240x240 px
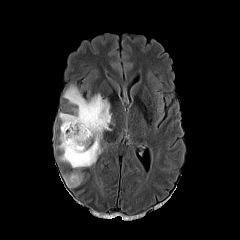
FLAIR magnetic resonance.
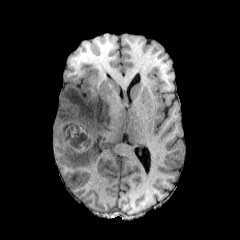
T1-weighted MR of the same slice.
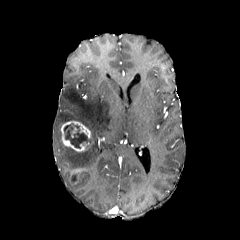
Post-contrast T1-weighted MR.
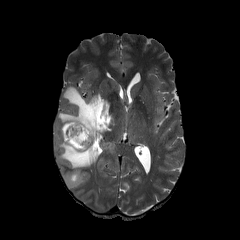
T2-weighted MR of the same slice.
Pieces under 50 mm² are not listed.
enhancing_tumor:
  - rect(61, 121, 90, 151)
necrotic_tumor_core:
  - rect(64, 123, 89, 148)
peritumoral_edema:
  - rect(58, 85, 111, 168)
  - rect(64, 173, 82, 188)